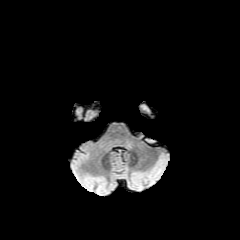
FLAIR MR.
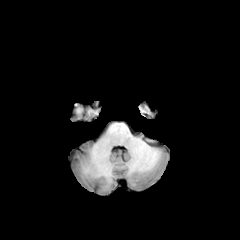
T1-weighted MR of the same slice.
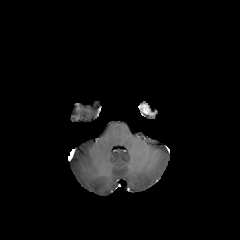
Same slice, post-contrast T1-weighted MR image.
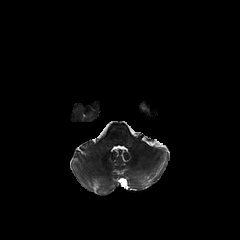
T2-weighted MRI.
Head | 240x240 px
The enhancing tumor is at [140,102,151,113].